Slice 116/155, Image width 240 mm, Brain
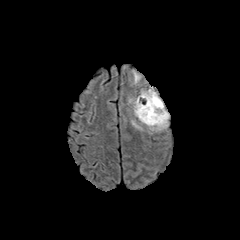
FLAIR magnetic resonance.
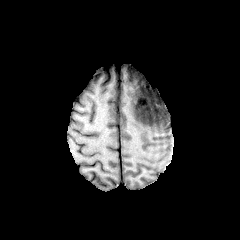
T1-weighted MRI.
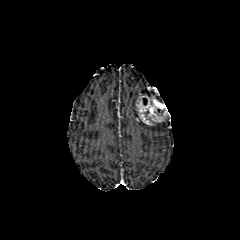
Post-contrast T1-weighted magnetic resonance of the same slice.
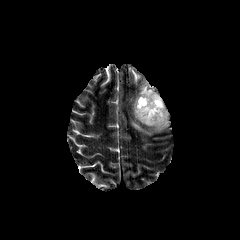
T2-weighted magnetic resonance.
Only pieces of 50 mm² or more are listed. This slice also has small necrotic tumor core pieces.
<segmentation>
  <enhancing_tumor>135 86 169 125</enhancing_tumor>
  <peritumoral_edema>149 119 167 130, 141 89 154 96, 133 71 140 83</peritumoral_edema>
</segmentation>